Head; Axial slice
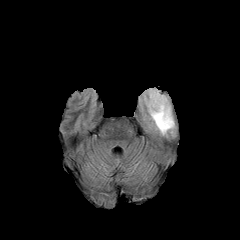
FLAIR MR.
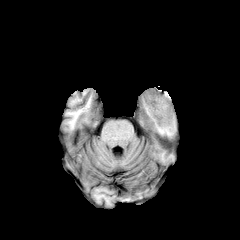
T1-weighted MRI.
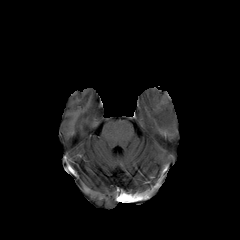
Post-contrast T1-weighted MRI.
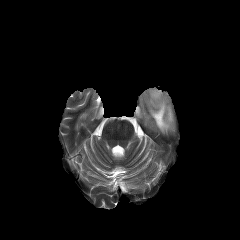
T2-weighted magnetic resonance.
peritumoral edema: bounding box x1=141 y1=88 x2=174 y2=134